FLAIR MR image.
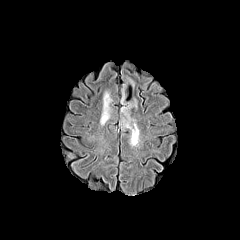
T1-weighted magnetic resonance.
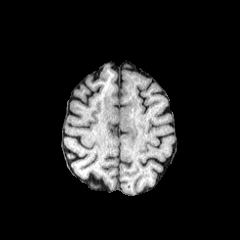
Post-contrast T1-weighted MR image.
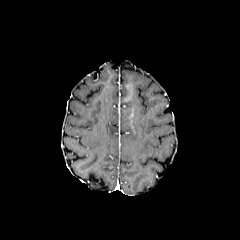
T2-weighted MR image.
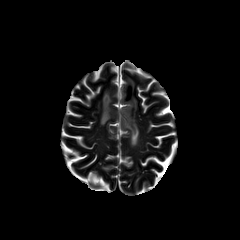
peritumoral edema = region(100, 92, 111, 125); region(120, 76, 139, 146)